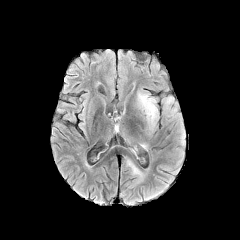
FLAIR MR.
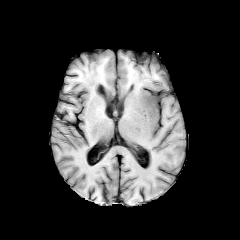
T1-weighted MRI.
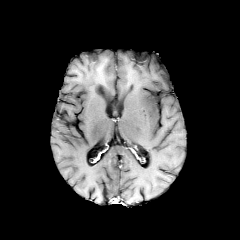
Same slice, post-contrast T1-weighted MR.
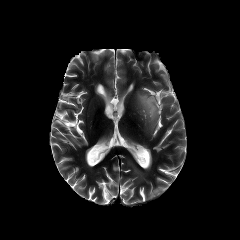
T2-weighted MR image.
Axial slice, Head
peritumoral_edema:
  - [135, 91, 159, 135]